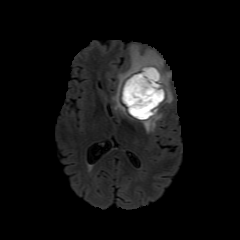
FLAIR magnetic resonance.
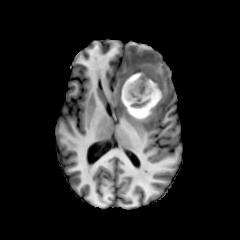
T1-weighted MRI.
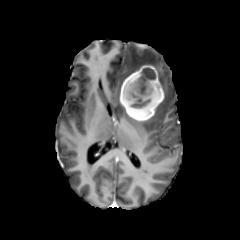
Post-contrast T1-weighted magnetic resonance.
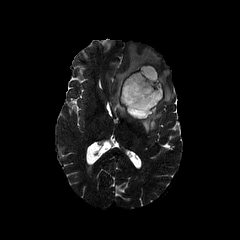
T2-weighted magnetic resonance of the same slice.
Head
The necrotic tumor core appears at 123 68 160 118. The enhancing tumor lies within 120 65 163 120. 2 peritumoral edema regions are bounded by 112 45 173 116, 140 103 161 132.